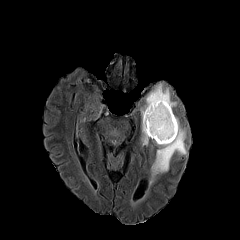
FLAIR MR.
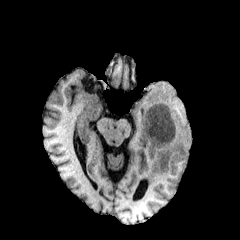
T1-weighted MR of the same slice.
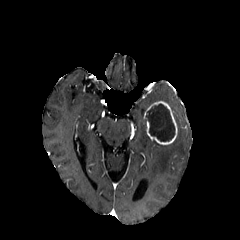
Same slice, post-contrast T1-weighted MR image.
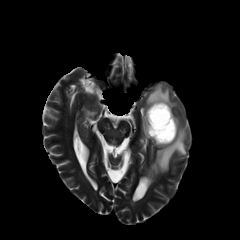
T2-weighted MRI.
Axial slice
Annotated regions:
- peritumoral edema: bbox(150, 117, 186, 183); bbox(140, 83, 177, 145)
- necrotic tumor core: bbox(145, 104, 174, 141)
- enhancing tumor: bbox(143, 101, 177, 144)